Head | Image width 240 mm, 1.00 mm slice spacing
FLAIR MRI.
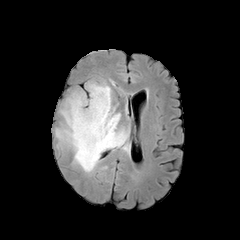
T1-weighted MRI.
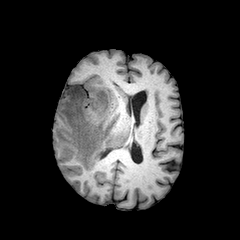
Post-contrast T1-weighted MRI.
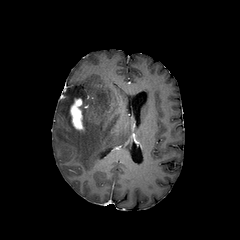
T2-weighted magnetic resonance.
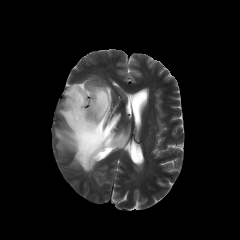
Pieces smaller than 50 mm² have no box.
<segmentation>
  <peritumoral_edema>55 81 129 172</peritumoral_edema>
  <enhancing_tumor>70 98 83 130</enhancing_tumor>
</segmentation>